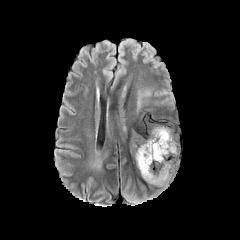
FLAIR MRI.
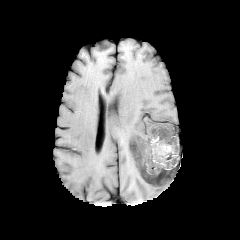
T1-weighted MR image.
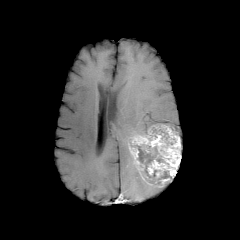
Post-contrast T1-weighted MRI.
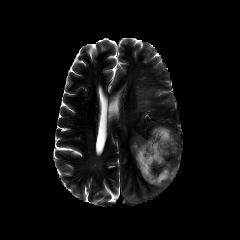
T2-weighted MR image.
Brain.
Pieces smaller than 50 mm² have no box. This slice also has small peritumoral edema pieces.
enhancing tumor at x1=130 y1=125 x2=180 y2=187
necrotic tumor core at x1=137 y1=145 x2=157 y2=177